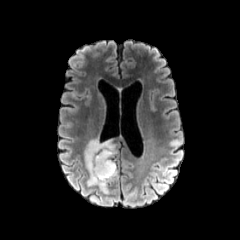
FLAIR MR.
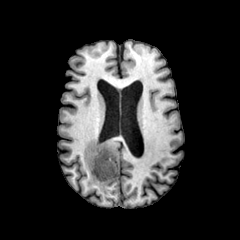
T1-weighted MRI.
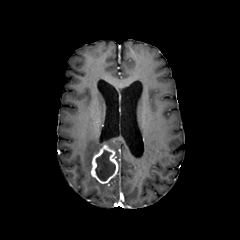
Post-contrast T1-weighted magnetic resonance of the same slice.
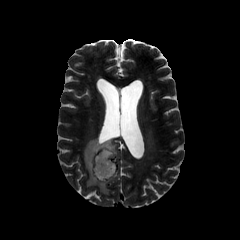
Same slice, T2-weighted MR image.
Brain
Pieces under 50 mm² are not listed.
<segmentation>
  <necrotic_tumor_core>[95, 150, 115, 180]</necrotic_tumor_core>
  <peritumoral_edema>[84, 137, 117, 193]</peritumoral_edema>
  <enhancing_tumor>[91, 143, 118, 183]</enhancing_tumor>
</segmentation>